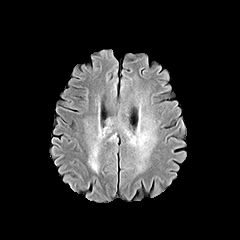
FLAIR MRI.
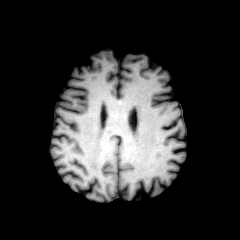
T1-weighted MR image.
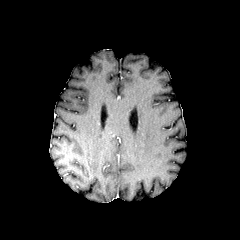
Same slice, post-contrast T1-weighted magnetic resonance.
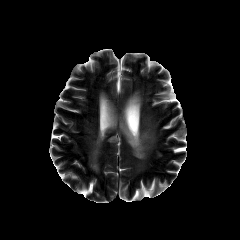
T2-weighted MR of the same slice.
Brain. Axial view.
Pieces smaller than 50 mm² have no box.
{
  "peritumoral_edema": [
    "<bbox>89, 148, 98, 171</bbox>"
  ]
}